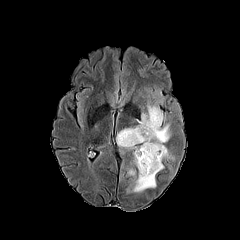
FLAIR magnetic resonance.
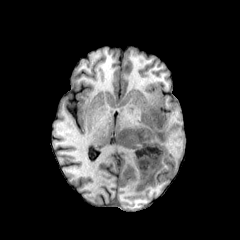
T1-weighted MR.
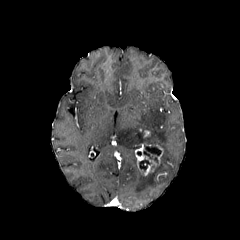
Post-contrast T1-weighted MR image.
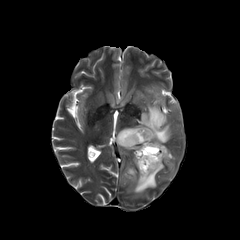
Same slice, T2-weighted MR image.
Axial slice
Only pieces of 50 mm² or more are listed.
necrotic_tumor_core:
  - (left=144, top=144, right=161, bottom=155)
  - (left=139, top=160, right=151, bottom=170)
enhancing_tumor:
  - (left=135, top=144, right=163, bottom=175)
  - (left=143, top=130, right=150, bottom=139)
peritumoral_edema:
  - (left=116, top=105, right=174, bottom=192)